FLAIR MRI.
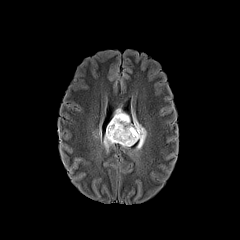
T1-weighted MR image.
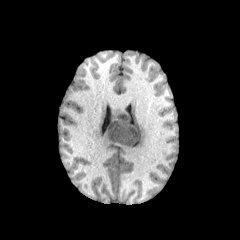
Post-contrast T1-weighted MRI.
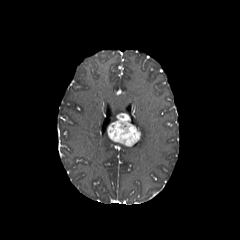
T2-weighted MR image.
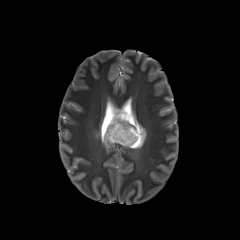
Head.
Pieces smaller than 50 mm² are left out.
peritumoral edema — bbox=[133, 117, 146, 150]; bbox=[110, 108, 123, 122]; bbox=[103, 130, 115, 151]
enhancing tumor — bbox=[107, 113, 140, 146]